FLAIR MR image.
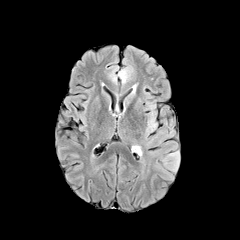
T1-weighted magnetic resonance.
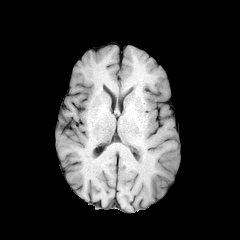
Post-contrast T1-weighted magnetic resonance.
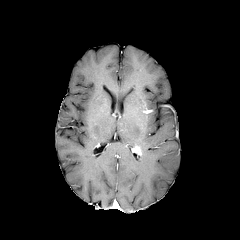
T2-weighted MRI.
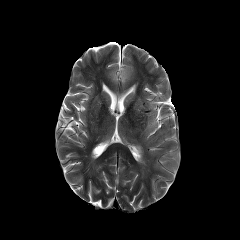
Image size 240x240
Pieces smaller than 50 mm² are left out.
Annotated regions:
* peritumoral edema: box(148, 113, 155, 130)
* enhancing tumor: box(132, 146, 141, 154)